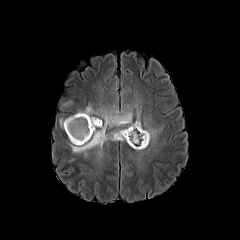
FLAIR MR image.
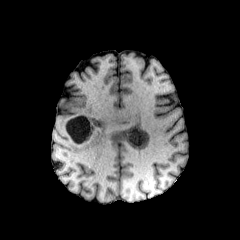
T1-weighted magnetic resonance of the same slice.
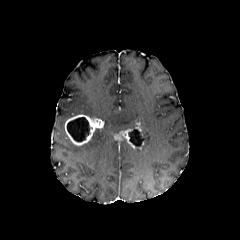
Post-contrast T1-weighted MRI.
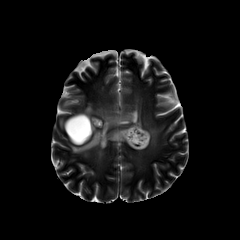
T2-weighted MR image.
Head
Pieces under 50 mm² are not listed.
2 enhancing tumor regions appear at rect(64, 114, 103, 145); rect(113, 122, 146, 149). The 3 largest peritumoral edema regions are located at rect(59, 118, 67, 128); rect(69, 104, 140, 156); rect(141, 123, 160, 149). 2 necrotic tumor core regions appear at rect(129, 129, 143, 146); rect(67, 117, 89, 141).